240x240 px, Head
FLAIR MR image.
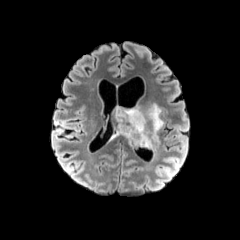
T1-weighted magnetic resonance.
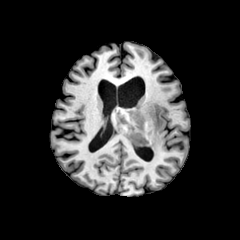
Post-contrast T1-weighted MR.
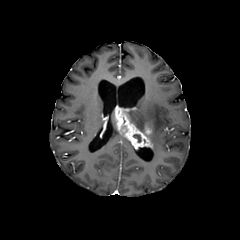
T2-weighted MR.
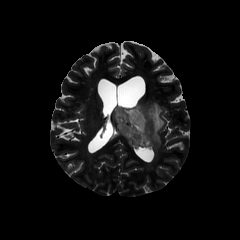
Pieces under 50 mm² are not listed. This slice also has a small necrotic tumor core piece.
enhancing_tumor:
  - x1=114 y1=107 x2=152 y2=148
peritumoral_edema:
  - x1=127 y1=103 x2=164 y2=144